Head. Axial plane. 240x240. Slice 95 of 155.
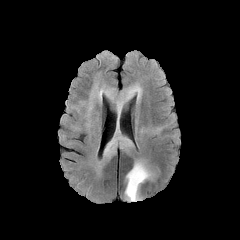
FLAIR MRI.
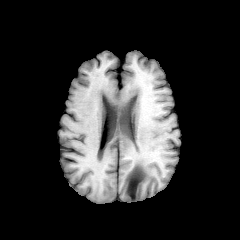
Same slice, T1-weighted MR.
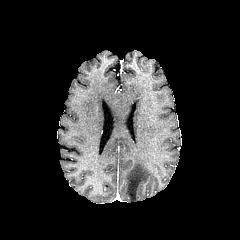
Post-contrast T1-weighted MR image.
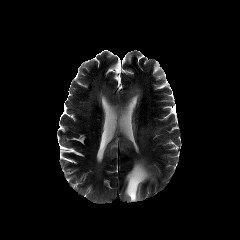
T2-weighted MRI of the same slice.
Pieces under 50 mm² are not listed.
The 2 largest peritumoral edema regions appear at x1=125, y1=159, x2=154, y2=201; x1=103, y1=84, x2=141, y2=157.